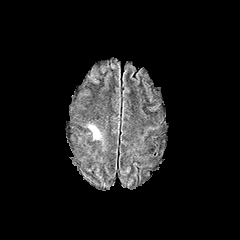
FLAIR MRI.
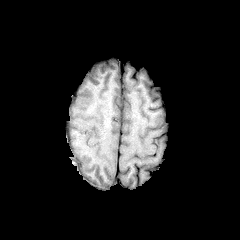
T1-weighted magnetic resonance.
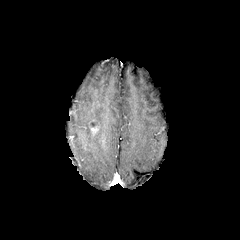
Post-contrast T1-weighted MR of the same slice.
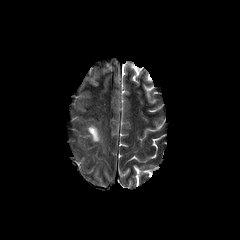
Same slice, T2-weighted MR image.
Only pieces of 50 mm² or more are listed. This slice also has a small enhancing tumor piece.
The largest peritumoral edema region lies within 93, 130, 100, 139.